Image width 240 mm
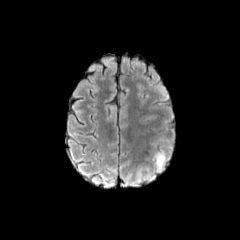
FLAIR magnetic resonance.
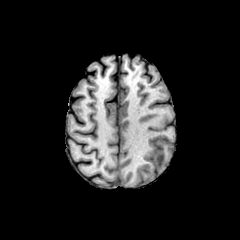
T1-weighted magnetic resonance.
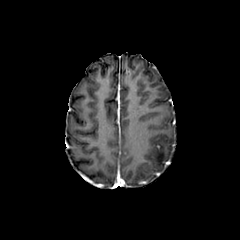
Same slice, post-contrast T1-weighted magnetic resonance.
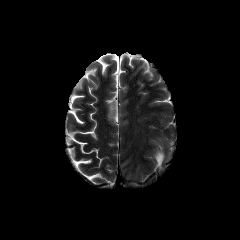
Same slice, T2-weighted MR.
Annotated regions:
• peritumoral edema: left=155, top=153, right=164, bottom=169